FLAIR magnetic resonance.
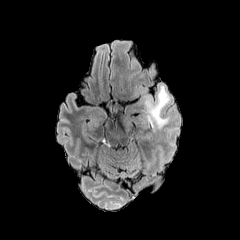
T1-weighted MR.
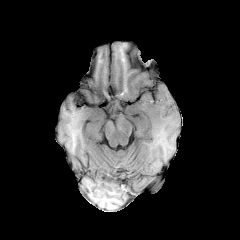
Post-contrast T1-weighted MR image.
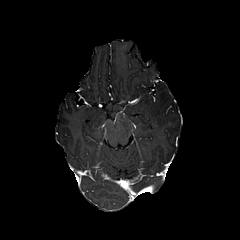
T2-weighted MRI.
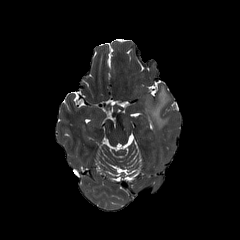
2 peritumoral edema regions are bounded by 122, 116, 131, 129; 145, 86, 169, 128.